FLAIR magnetic resonance.
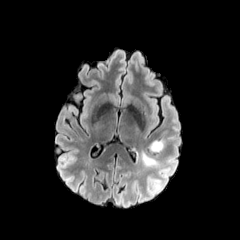
T1-weighted MRI.
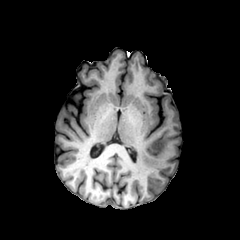
Post-contrast T1-weighted MR.
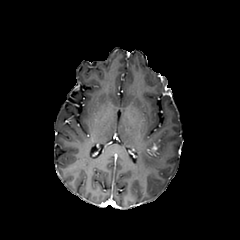
T2-weighted MRI.
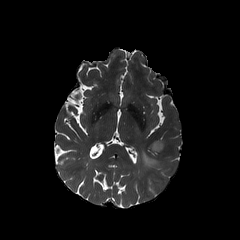
Head
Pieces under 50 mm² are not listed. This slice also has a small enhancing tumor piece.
peritumoral edema — l=141, t=151, r=158, b=166; l=149, t=140, r=163, b=153